FLAIR MRI.
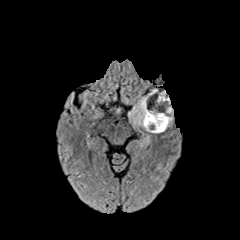
T1-weighted MR.
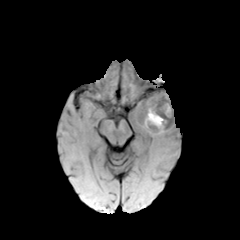
Post-contrast T1-weighted magnetic resonance.
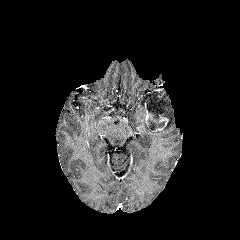
T2-weighted MRI.
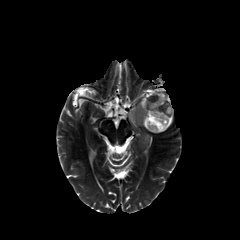
Brain, 240x240 px
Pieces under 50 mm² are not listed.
enhancing tumor = (x1=143, y1=103, x2=151, y2=125), (x1=153, y1=115, x2=168, y2=131)
necrotic tumor core = (x1=146, y1=92, x2=167, y2=130)
peritumoral edema = (x1=129, y1=90, x2=173, y2=133)